FLAIR MR image.
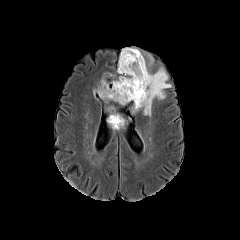
T1-weighted MR.
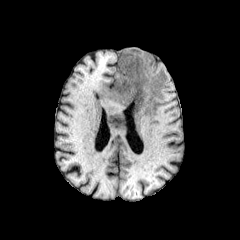
Post-contrast T1-weighted MRI.
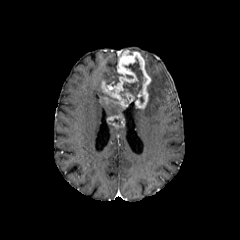
T2-weighted magnetic resonance.
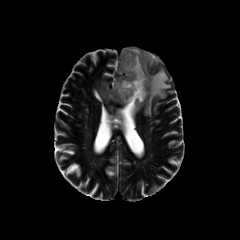
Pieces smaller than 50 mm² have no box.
The 2 largest enhancing tumor regions appear at box=[107, 114, 125, 128]; box=[101, 49, 151, 109]. The largest necrotic tumor core region is bounded by box=[120, 58, 142, 101]. The 2 largest peritumoral edema regions are located at box=[122, 47, 171, 116]; box=[93, 78, 117, 102].